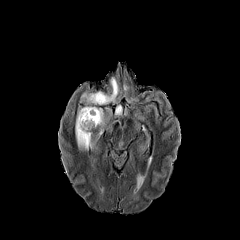
FLAIR magnetic resonance.
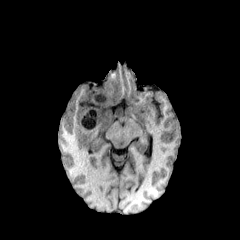
T1-weighted MRI.
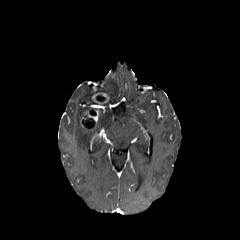
Post-contrast T1-weighted magnetic resonance.
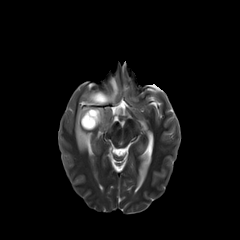
T2-weighted magnetic resonance.
Axial slice.
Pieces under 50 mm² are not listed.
enhancing_tumor:
  - 84, 110, 99, 126
  - 92, 92, 109, 104
necrotic_tumor_core:
  - 89, 108, 96, 115
  - 96, 95, 105, 101
  - 82, 114, 95, 129
peritumoral_edema:
  - 81, 93, 94, 102
  - 75, 106, 91, 151
  - 94, 107, 103, 125
  - 106, 77, 118, 103
  - 114, 105, 123, 115